FLAIR MR image.
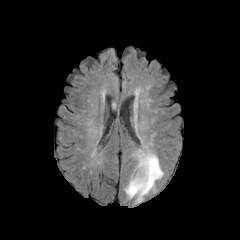
T1-weighted MR.
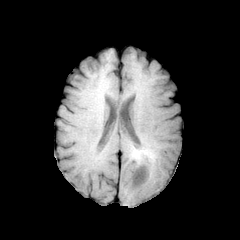
Post-contrast T1-weighted magnetic resonance.
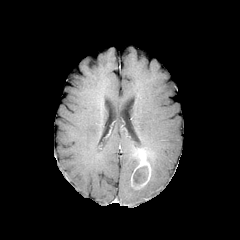
T2-weighted MRI.
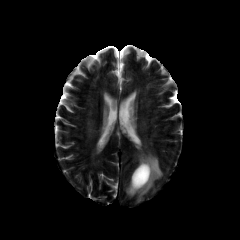
Axial slice. Image size 240x240. Brain.
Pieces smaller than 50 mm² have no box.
* peritumoral edema: [125,146,163,202]
* enhancing tumor: [131,151,151,189]
* necrotic tumor core: [134,169,146,183]